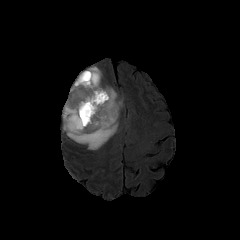
FLAIR magnetic resonance.
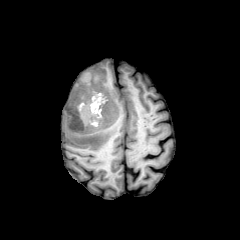
T1-weighted MR image.
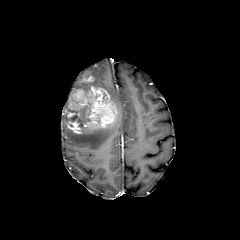
Post-contrast T1-weighted MR image of the same slice.
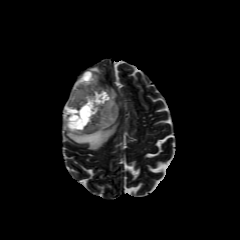
T2-weighted MRI.
240x240.
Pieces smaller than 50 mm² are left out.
enhancing tumor — region(77, 72, 94, 82); region(63, 86, 118, 133)
necrotic tumor core — region(66, 102, 90, 128)
peritumoral edema — region(104, 87, 122, 114); region(70, 67, 102, 92); region(62, 114, 118, 150)